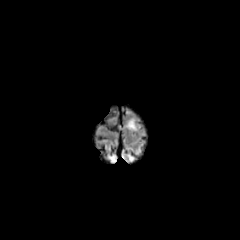
FLAIR MR.
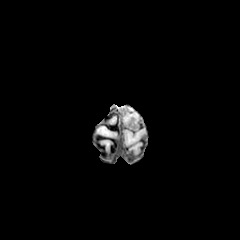
T1-weighted MRI.
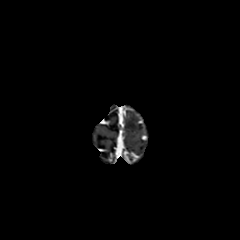
Post-contrast T1-weighted MRI.
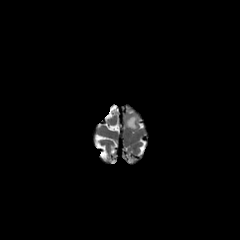
T2-weighted magnetic resonance.
Head
{
  "peritumoral_edema": [
    "<bbox>125, 117, 137, 130</bbox>"
  ]
}